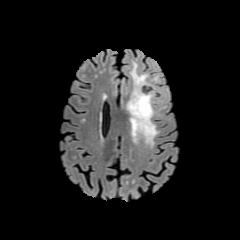
FLAIR MR.
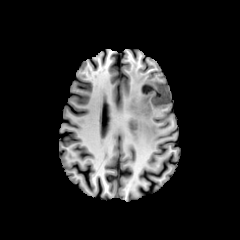
T1-weighted MR image.
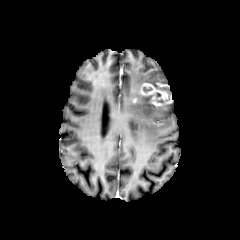
Post-contrast T1-weighted MR.
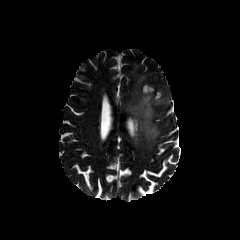
T2-weighted MR image.
Head | Axial view
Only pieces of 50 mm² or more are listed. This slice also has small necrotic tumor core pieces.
peritumoral edema: box(126, 63, 159, 146) | enhancing tumor: box(140, 82, 170, 106)